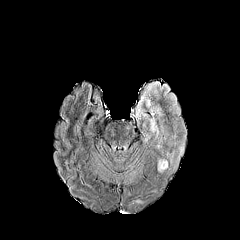
FLAIR MR.
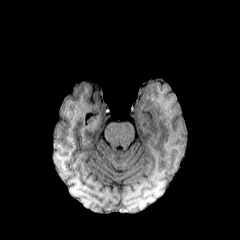
T1-weighted MR of the same slice.
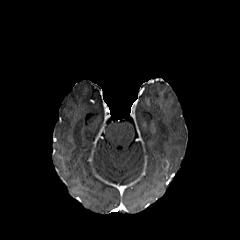
Same slice, post-contrast T1-weighted MR image.
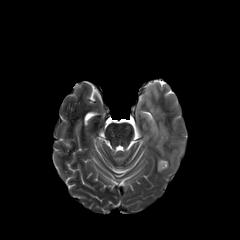
T2-weighted MR image of the same slice.
Axial slice | 240x240 px
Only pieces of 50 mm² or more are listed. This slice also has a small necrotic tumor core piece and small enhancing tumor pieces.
peritumoral edema: bbox=[150, 119, 159, 138]; bbox=[151, 108, 160, 115]; bbox=[136, 85, 153, 116]; bbox=[158, 159, 165, 171]